Axial plane.
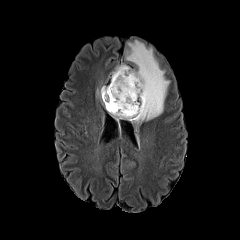
FLAIR MRI.
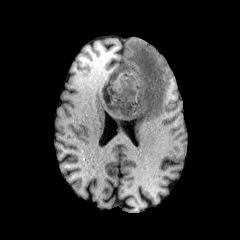
T1-weighted MRI of the same slice.
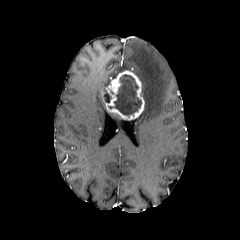
Post-contrast T1-weighted MRI of the same slice.
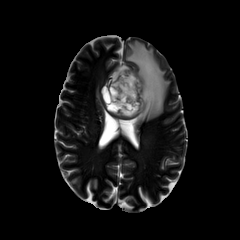
T2-weighted MRI.
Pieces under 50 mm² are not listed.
enhancing tumor: 101:70:144:120 | peritumoral edema: 112:40:169:123 | necrotic tumor core: 114:74:141:115, 103:88:110:102